FLAIR MRI.
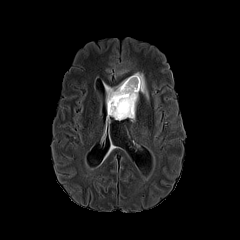
T1-weighted MR image.
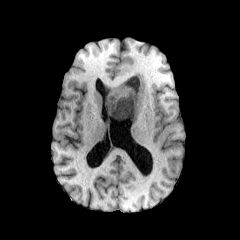
Post-contrast T1-weighted MR.
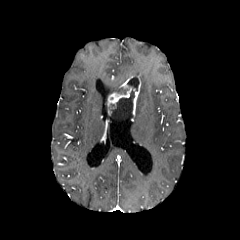
T2-weighted MR.
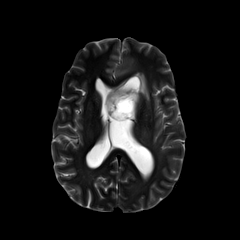
240x240 | Axial view
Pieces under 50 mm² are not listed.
<segmentation>
  <enhancing_tumor>rect(105, 75, 140, 116)</enhancing_tumor>
  <peritumoral_edema>rect(104, 80, 125, 98); rect(134, 72, 148, 99)</peritumoral_edema>
  <necrotic_tumor_core>rect(109, 77, 138, 120)</necrotic_tumor_core>
</segmentation>